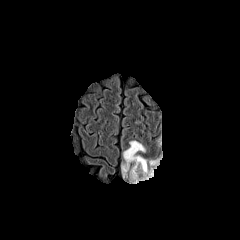
FLAIR MR image.
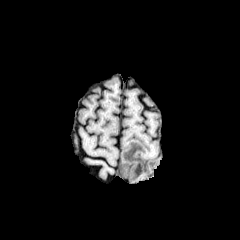
T1-weighted MRI of the same slice.
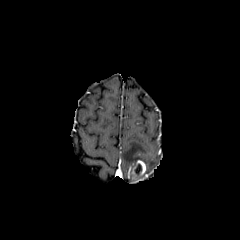
Post-contrast T1-weighted MR image.
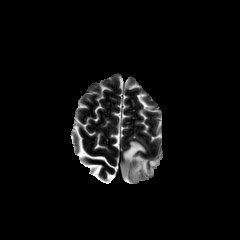
T2-weighted MR image.
Brain
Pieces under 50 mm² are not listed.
The necrotic tumor core is located at [135,164,141,175]. The largest peritumoral edema region appears at [121,141,159,172]. The enhancing tumor is located at [122,160,152,183].